Head.
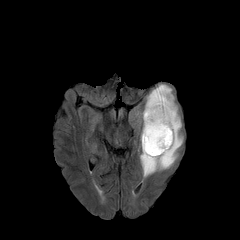
FLAIR MRI.
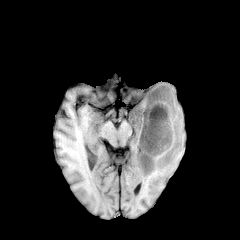
T1-weighted magnetic resonance.
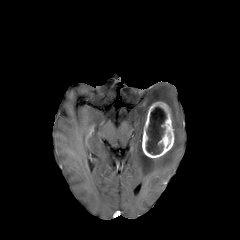
Same slice, post-contrast T1-weighted magnetic resonance.
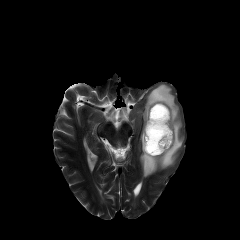
T2-weighted MRI.
peritumoral_edema:
  - <box>137,84,183,177</box>
enhancing_tumor:
  - <box>142,102,174,158</box>
necrotic_tumor_core:
  - <box>146,106,166,154</box>